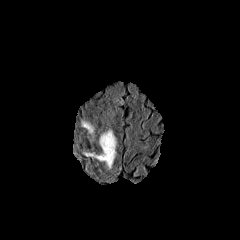
FLAIR magnetic resonance.
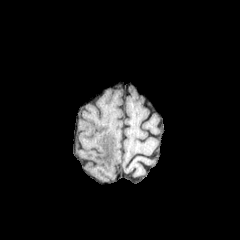
T1-weighted MRI.
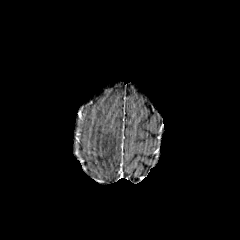
Post-contrast T1-weighted MRI.
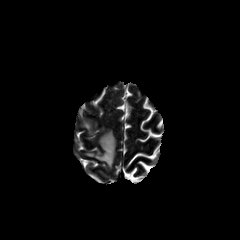
T2-weighted magnetic resonance.
Image size 240x240
2 peritumoral edema regions are located at (left=82, top=128, right=117, bottom=169), (left=81, top=118, right=94, bottom=136).